Axial plane; Slice 99/155
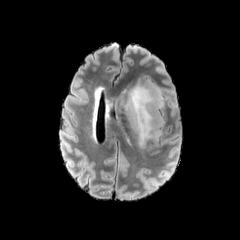
FLAIR MR image.
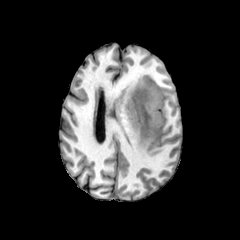
T1-weighted magnetic resonance of the same slice.
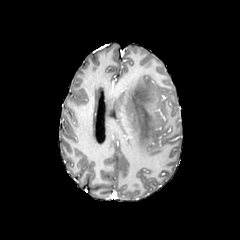
Post-contrast T1-weighted magnetic resonance.
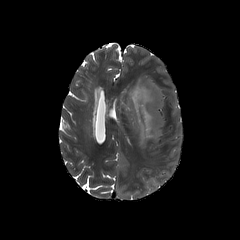
T2-weighted MR.
<segmentation>
  <peritumoral_edema><bbox>120, 76, 164, 148</bbox></peritumoral_edema>
</segmentation>